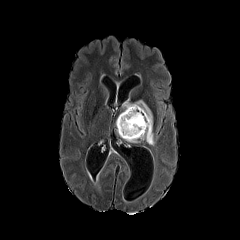
FLAIR MR.
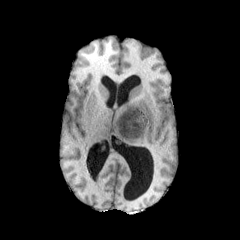
T1-weighted MR image of the same slice.
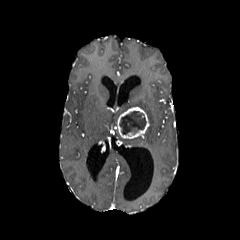
Post-contrast T1-weighted magnetic resonance.
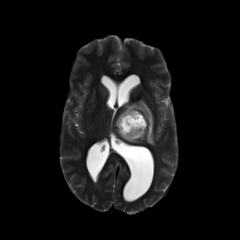
T2-weighted MRI.
Image size 240x240. Brain.
enhancing tumor = box=[116, 107, 149, 138]
necrotic tumor core = box=[119, 111, 146, 135]
peritumoral edema = box=[122, 100, 154, 145]